FLAIR MR image.
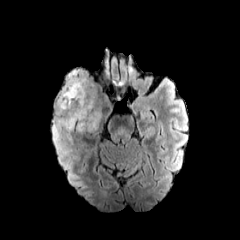
T1-weighted MRI.
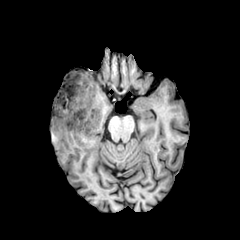
Post-contrast T1-weighted MRI.
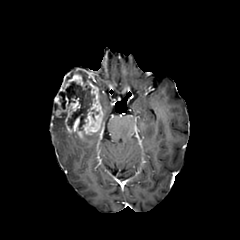
T2-weighted MR image.
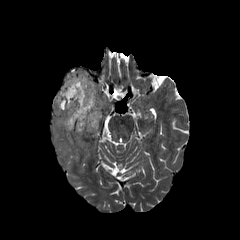
Head, Axial slice
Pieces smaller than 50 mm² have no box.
{
  "peritumoral_edema": [
    "left=52, top=112, right=70, bottom=154",
    "left=76, top=70, right=87, bottom=82"
  ],
  "necrotic_tumor_core": [
    "left=59, top=82, right=94, bottom=130"
  ],
  "enhancing_tumor": [
    "left=54, top=70, right=102, bottom=138"
  ]
}